Head; Slice 50 of 155
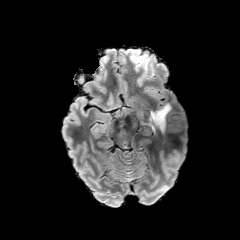
FLAIR MRI.
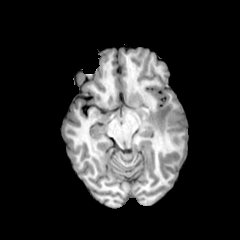
T1-weighted MRI of the same slice.
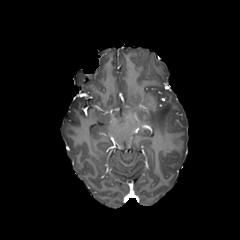
Same slice, post-contrast T1-weighted magnetic resonance.
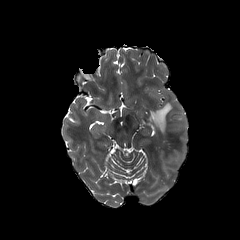
Same slice, T2-weighted MR.
peritumoral edema at box(149, 104, 171, 133)